FLAIR MR image.
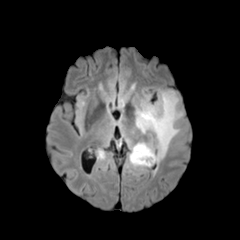
T1-weighted MR image.
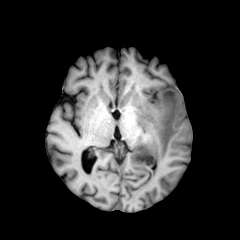
Post-contrast T1-weighted MRI.
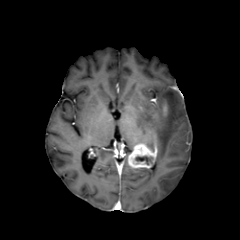
T2-weighted MR image.
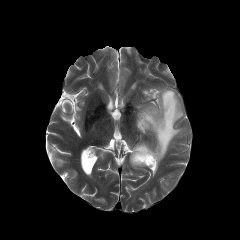
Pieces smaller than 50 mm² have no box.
The necrotic tumor core is bounded by <bbox>135, 156, 152, 164</bbox>. The largest enhancing tumor region appears at <bbox>128, 143, 157, 167</bbox>. The largest peritumoral edema region is located at <bbox>136, 90, 183, 163</bbox>.